Axial slice. Image width 240 mm.
FLAIR magnetic resonance.
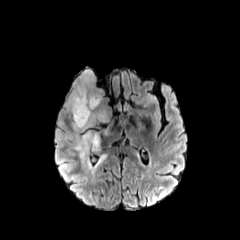
T1-weighted MR image.
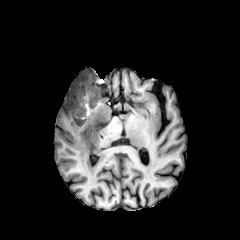
Post-contrast T1-weighted MRI.
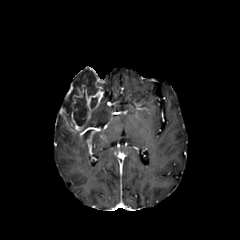
T2-weighted magnetic resonance.
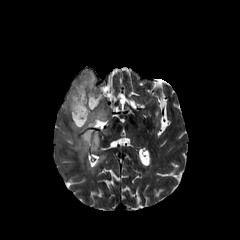
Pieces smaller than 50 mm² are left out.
necrotic tumor core — [90,97,97,108], [73,92,88,126]
enhancing tumor — [60,84,104,133]
peritumoral edema — [63,69,97,115], [73,104,107,162], [88,154,105,168]